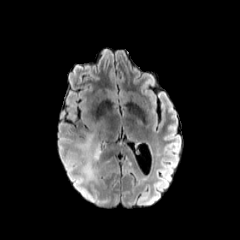
FLAIR MR.
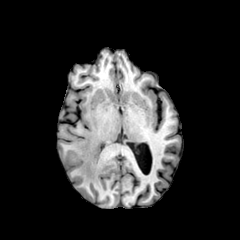
T1-weighted MR image.
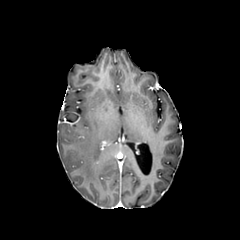
Same slice, post-contrast T1-weighted magnetic resonance.
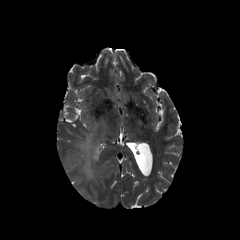
T2-weighted MR image.
Brain; Image size 240x240
Annotated regions:
• peritumoral edema: 78:134:101:181